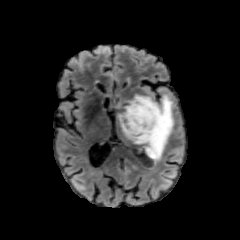
FLAIR magnetic resonance.
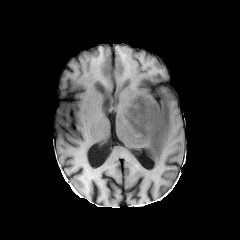
T1-weighted magnetic resonance of the same slice.
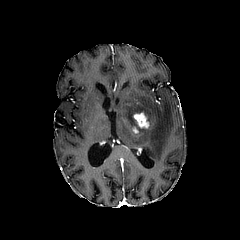
Post-contrast T1-weighted MRI.
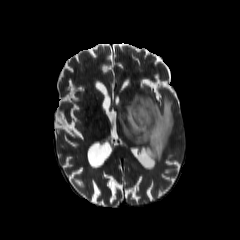
Same slice, T2-weighted MRI.
Head.
• peritumoral edema: (115, 93, 173, 170)
• enhancing tumor: (132, 112, 149, 133)